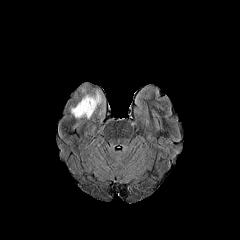
FLAIR magnetic resonance.
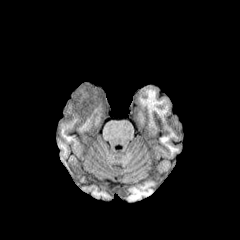
Same slice, T1-weighted magnetic resonance.
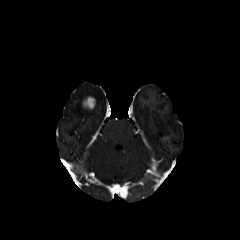
Post-contrast T1-weighted magnetic resonance.
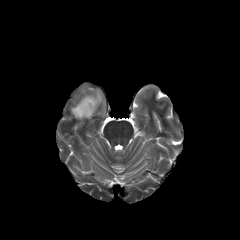
Same slice, T2-weighted magnetic resonance.
• peritumoral edema: region(70, 85, 105, 119)
• enhancing tumor: region(82, 96, 95, 109)